Image size 240x240; Slice 102/155; Brain; Image covers 240 mm x 240 mm
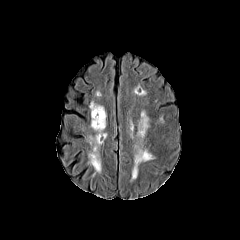
FLAIR MR.
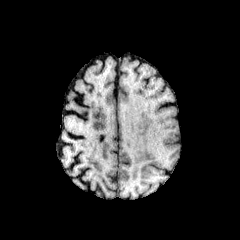
T1-weighted magnetic resonance of the same slice.
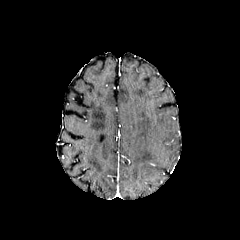
Same slice, post-contrast T1-weighted MR.
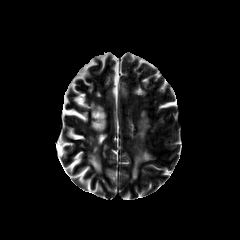
T2-weighted magnetic resonance.
peritumoral_edema:
  - 138, 111, 148, 138
  - 132, 149, 152, 179